Slice 89/155 | Axial view
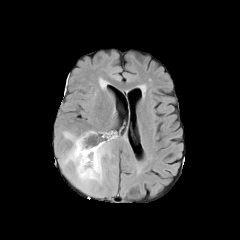
FLAIR MR image.
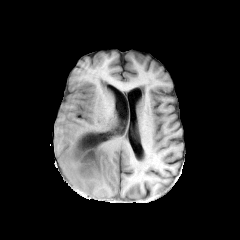
T1-weighted MR of the same slice.
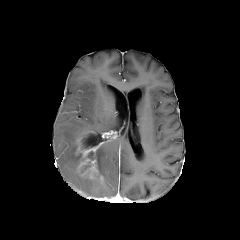
Post-contrast T1-weighted magnetic resonance of the same slice.
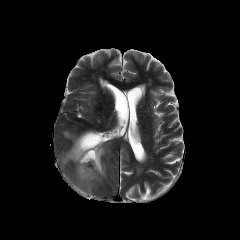
T2-weighted MRI of the same slice.
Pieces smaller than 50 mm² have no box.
necrotic tumor core: bounding box [82,133,100,148]
enhancing tumor: bounding box [75,131,104,178]
peritumoral edema: bounding box [62,131,109,192]